Slice 72/155 | Head
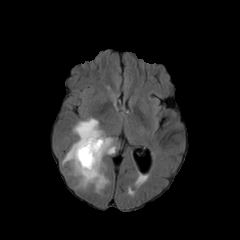
FLAIR MR.
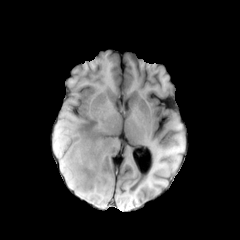
T1-weighted MRI.
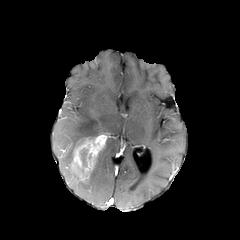
Same slice, post-contrast T1-weighted MRI.
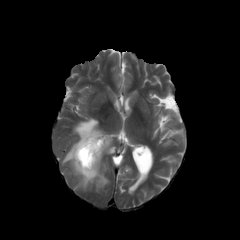
Same slice, T2-weighted MRI.
<segmentation>
  <peritumoral_edema>62:118:104:164, 70:137:116:191</peritumoral_edema>
  <necrotic_tumor_core>81:150:86:165</necrotic_tumor_core>
  <enhancing_tumor>70:134:107:182</enhancing_tumor>
</segmentation>